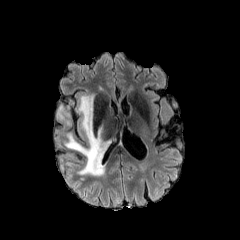
FLAIR MR.
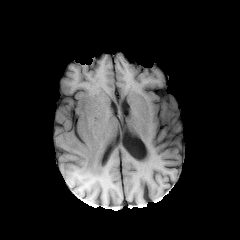
T1-weighted MRI.
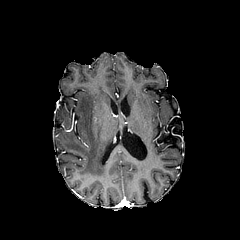
Same slice, post-contrast T1-weighted magnetic resonance.
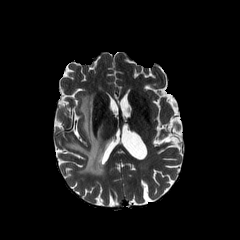
T2-weighted MRI.
2 peritumoral edema regions are located at 58 107 63 119, 65 94 110 175.